FLAIR magnetic resonance.
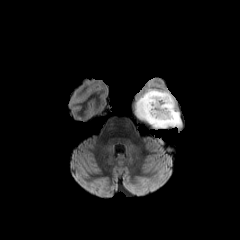
T1-weighted MR image.
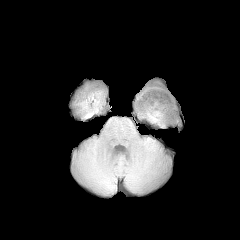
Post-contrast T1-weighted MR.
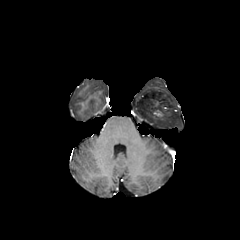
T2-weighted MR.
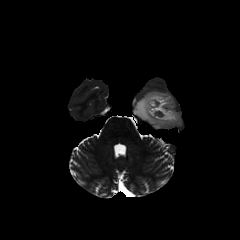
The enhancing tumor appears at l=150, t=99, r=174, b=118. The peritumoral edema is at l=136, t=88, r=181, b=129.